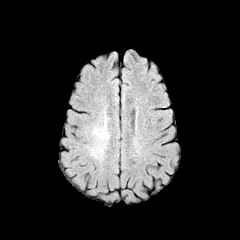
FLAIR magnetic resonance.
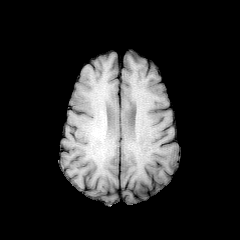
Same slice, T1-weighted MR image.
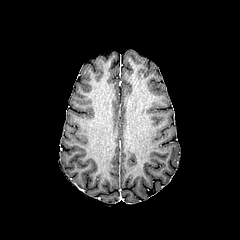
Post-contrast T1-weighted magnetic resonance of the same slice.
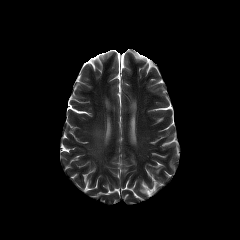
T2-weighted MR image.
Head | Axial slice
peritumoral_edema:
  - (87,102,109,171)